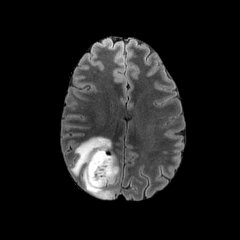
FLAIR magnetic resonance.
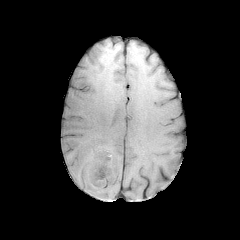
T1-weighted MR image of the same slice.
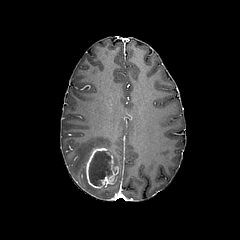
Same slice, post-contrast T1-weighted MRI.
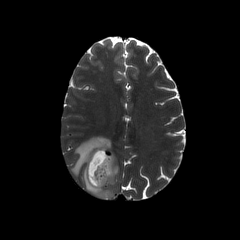
Same slice, T2-weighted MRI.
Brain.
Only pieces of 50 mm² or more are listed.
enhancing_tumor:
  - [85,147,118,188]
peritumoral_edema:
  - [70,137,117,199]
necrotic_tumor_core:
  - [89,151,111,185]